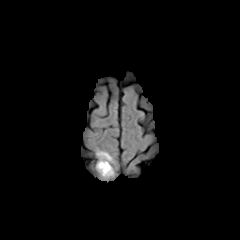
FLAIR MR image.
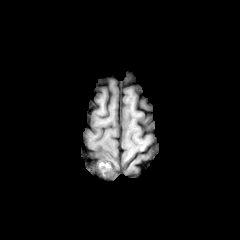
T1-weighted MRI.
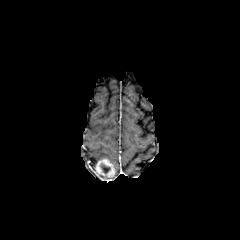
Post-contrast T1-weighted MR image.
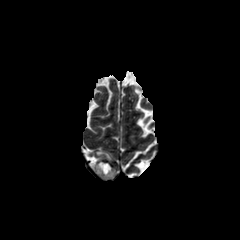
T2-weighted MR of the same slice.
Head. 240x240.
{
  "necrotic_tumor_core": [
    "100,163,110,173"
  ],
  "peritumoral_edema": [
    "96,151,112,162"
  ],
  "enhancing_tumor": [
    "95,159,114,177"
  ]
}